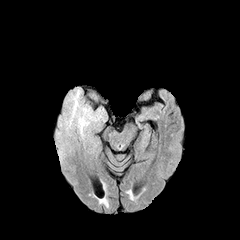
FLAIR MR image.
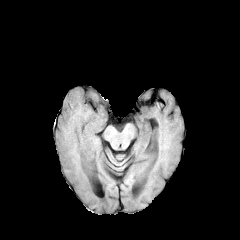
Same slice, T1-weighted MR.
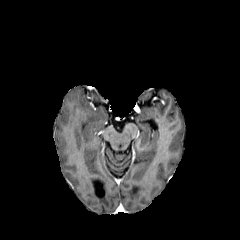
Post-contrast T1-weighted MR of the same slice.
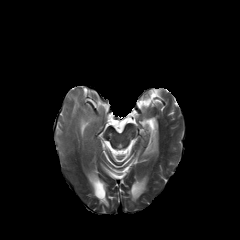
T2-weighted MR image.
Segmented structures:
* peritumoral edema: bbox(56, 105, 64, 148); bbox(64, 87, 107, 135)